Axial view. Slice 73/155. Image size 240x240.
FLAIR MR image.
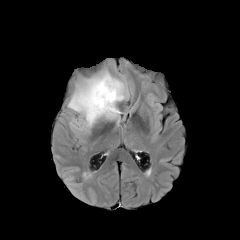
T1-weighted magnetic resonance.
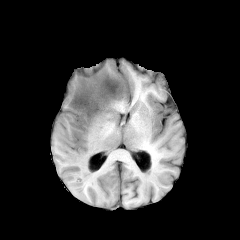
Post-contrast T1-weighted MR.
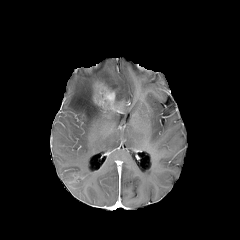
T2-weighted magnetic resonance.
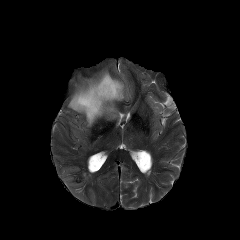
enhancing tumor = l=93, t=82, r=117, b=112
peritumoral edema = l=68, t=58, r=128, b=130